Brain | Slice index 73
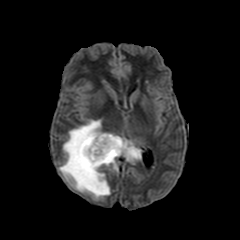
FLAIR MR image.
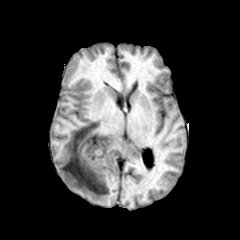
T1-weighted MRI.
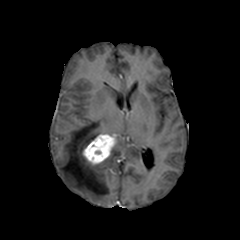
Post-contrast T1-weighted MR image of the same slice.
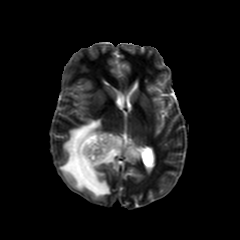
T2-weighted MRI.
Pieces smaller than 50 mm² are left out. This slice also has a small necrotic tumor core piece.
Annotated regions:
- peritumoral edema: x1=59 y1=119 x2=141 y2=199
- enhancing tumor: x1=82 y1=134 x2=116 y2=165